FLAIR magnetic resonance.
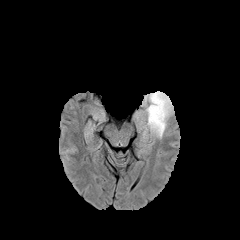
T1-weighted MR image.
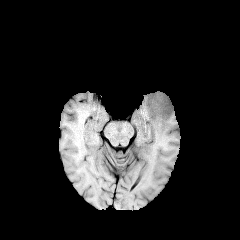
Post-contrast T1-weighted magnetic resonance.
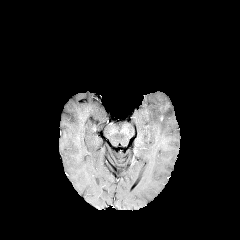
T2-weighted MR image.
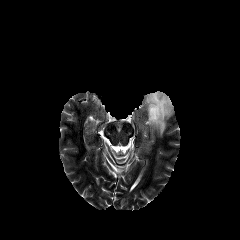
Head
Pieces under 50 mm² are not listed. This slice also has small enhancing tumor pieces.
peritumoral edema: bounding box 140 91 174 138